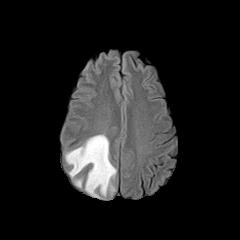
FLAIR MR.
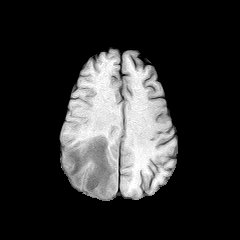
T1-weighted MR image.
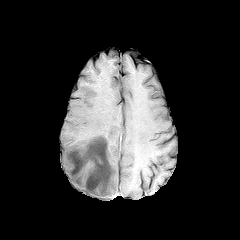
Post-contrast T1-weighted magnetic resonance.
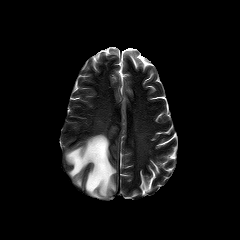
T2-weighted MR of the same slice.
Axial slice, 240x240 px
peritumoral edema: 65 134 116 197